Brain | Image width 240 mm, 1.00 mm slice spacing
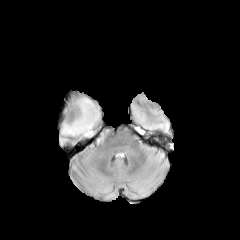
FLAIR magnetic resonance.
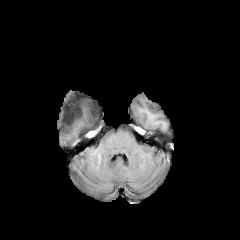
T1-weighted magnetic resonance of the same slice.
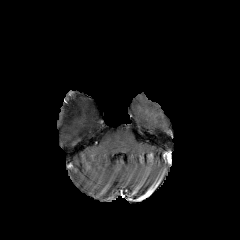
Post-contrast T1-weighted MR of the same slice.
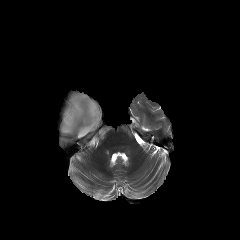
T2-weighted MRI of the same slice.
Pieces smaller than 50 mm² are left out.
{
  "peritumoral_edema": [
    "bbox(61, 95, 100, 137)"
  ]
}